Axial view, Image covers 240 mm x 240 mm, 240x240
FLAIR MR image.
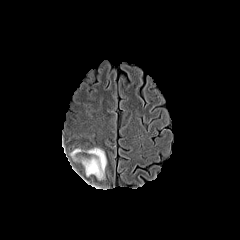
T1-weighted magnetic resonance.
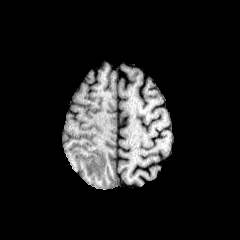
Post-contrast T1-weighted MR image.
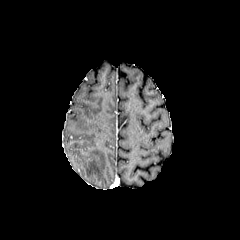
T2-weighted magnetic resonance.
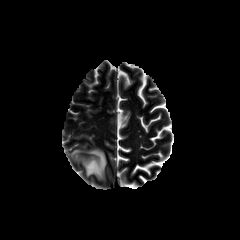
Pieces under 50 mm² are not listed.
{
  "peritumoral_edema": [
    "x1=82 y1=148 x2=106 y2=179"
  ]
}